Slice 116 of 155 | Head
FLAIR MR image.
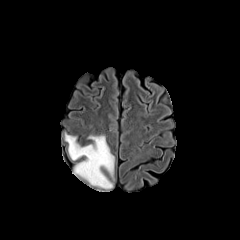
T1-weighted MR image.
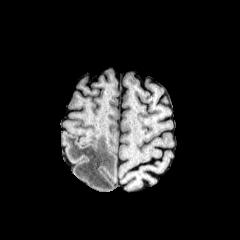
Post-contrast T1-weighted MRI.
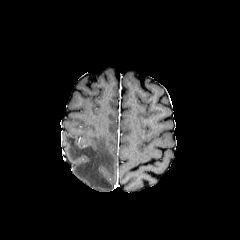
T2-weighted magnetic resonance.
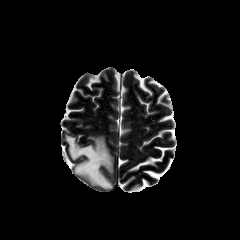
peritumoral edema: (65, 134, 114, 189)